Slice 115/155; Image size 240x240; Axial plane; Image width 240 mm, 1.00 mm slice spacing
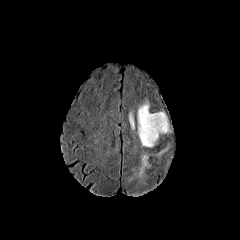
FLAIR magnetic resonance.
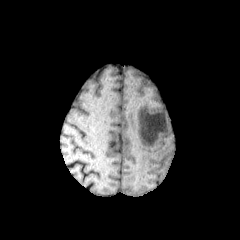
T1-weighted MR image.
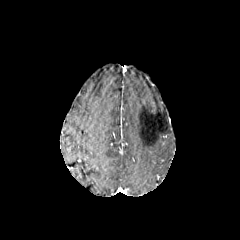
Post-contrast T1-weighted MR of the same slice.
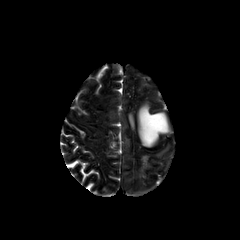
Same slice, T2-weighted magnetic resonance.
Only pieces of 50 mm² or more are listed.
peritumoral edema: {"x1": 137, "y1": 102, "x2": 170, "y2": 147}, {"x1": 129, "y1": 113, "x2": 134, "y2": 129}, {"x1": 130, "y1": 153, "x2": 149, "y2": 182}